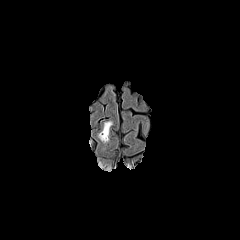
FLAIR MR image.
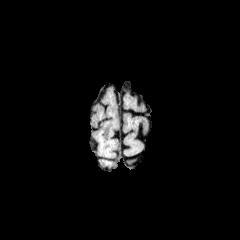
T1-weighted MR.
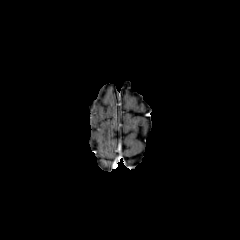
Post-contrast T1-weighted magnetic resonance.
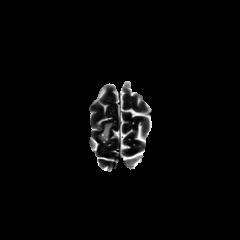
T2-weighted MRI.
Axial view
The peritumoral edema is bounded by <box>99,122,112,142</box>.